FLAIR MRI.
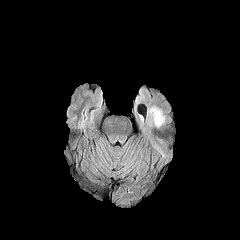
T1-weighted magnetic resonance.
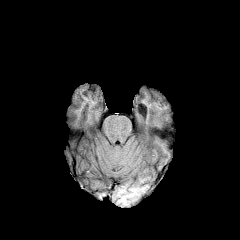
Post-contrast T1-weighted MR.
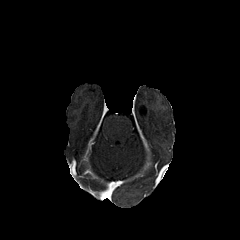
T2-weighted MR.
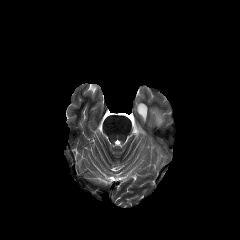
240x240 | Brain
{
  "peritumoral_edema": [
    "<bbox>150, 108, 164, 126</bbox>"
  ]
}